FLAIR MRI.
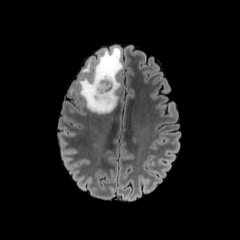
T1-weighted magnetic resonance.
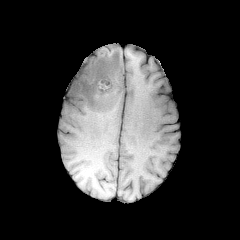
Post-contrast T1-weighted MR.
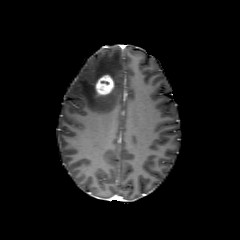
T2-weighted MRI.
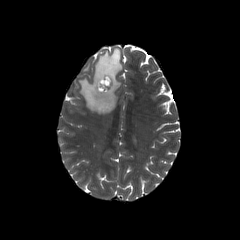
240x240; Axial plane; Head
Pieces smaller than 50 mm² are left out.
enhancing tumor: left=95, top=75, right=114, bottom=95 | necrotic tumor core: left=101, top=80, right=109, bottom=90 | peritumoral edema: left=76, top=47, right=122, bottom=114